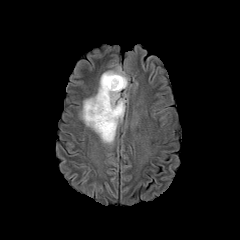
FLAIR MRI.
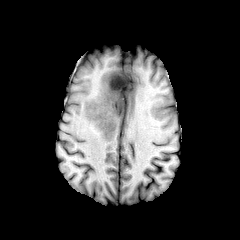
T1-weighted MR image.
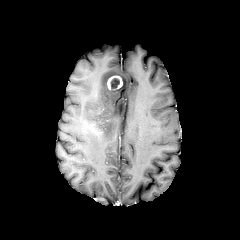
Post-contrast T1-weighted MR image.
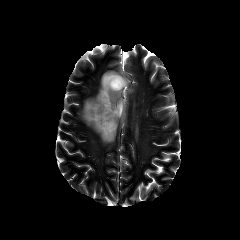
T2-weighted magnetic resonance of the same slice.
Brain. 240x240.
peritumoral edema: bounding box [80, 66, 128, 144]
necrotic tumor core: bounding box [111, 78, 119, 88]
enhancing tumor: bounding box [107, 75, 122, 91]